Head. 240x240.
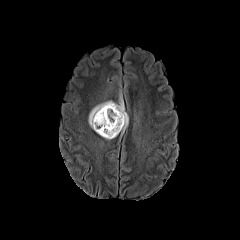
FLAIR MR.
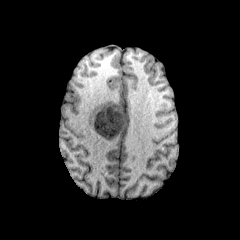
Same slice, T1-weighted MRI.
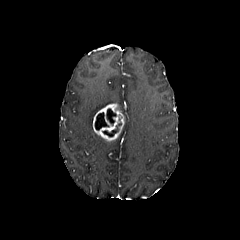
Post-contrast T1-weighted MRI of the same slice.
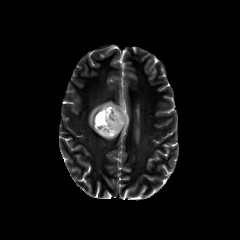
T2-weighted MR image.
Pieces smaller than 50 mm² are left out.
enhancing_tumor:
  - (x1=92, y1=103, x2=124, y2=140)
necrotic_tumor_core:
  - (x1=95, y1=112, x2=108, y2=130)
  - (x1=103, y1=126, x2=118, y2=136)
  - (x1=106, y1=108, x2=116, y2=124)
peritumoral_edema:
  - (x1=118, y1=93, x2=128, y2=136)
  - (x1=88, y1=100, x2=113, y2=128)